FLAIR MRI.
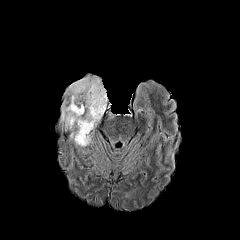
T1-weighted MR.
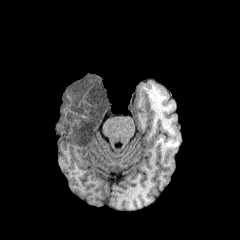
Post-contrast T1-weighted magnetic resonance.
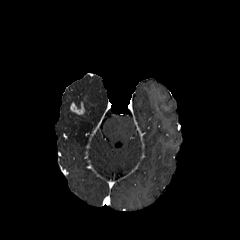
T2-weighted MR image.
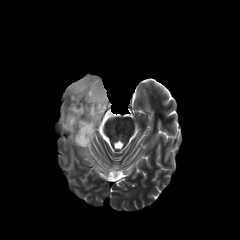
Axial slice
- enhancing tumor: 70 102 84 114
- peritumoral edema: 61 77 107 146